Axial slice. 240x240 px. Head.
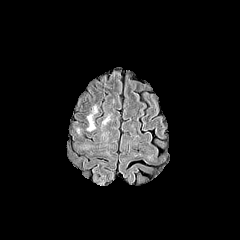
FLAIR magnetic resonance.
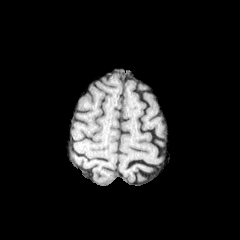
T1-weighted MRI.
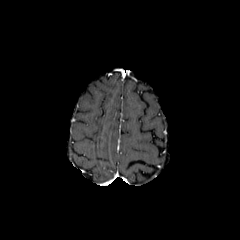
Same slice, post-contrast T1-weighted MR.
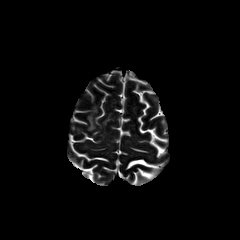
T2-weighted MR image.
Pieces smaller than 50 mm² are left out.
<segmentation>
  <peritumoral_edema>88, 115, 94, 130</peritumoral_edema>
</segmentation>